FLAIR MRI.
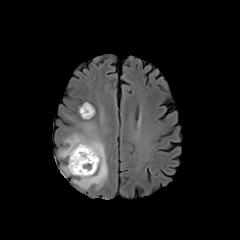
T1-weighted MRI.
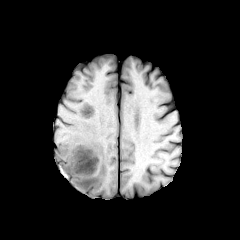
Post-contrast T1-weighted MRI.
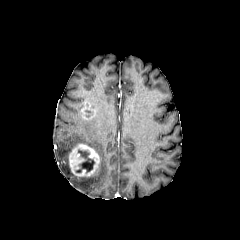
T2-weighted magnetic resonance.
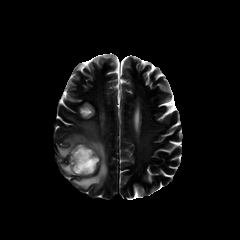
Axial slice. 240x240 px.
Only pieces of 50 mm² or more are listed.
Annotated regions:
• peritumoral edema: x1=61 y1=164 x2=73 y2=174, x1=58 y1=122 x2=107 y2=189
• necrotic tumor core: x1=76 y1=150 x2=94 y2=172
• enhancing tumor: x1=80 y1=103 x2=94 y2=119, x1=69 y1=144 x2=99 y2=176